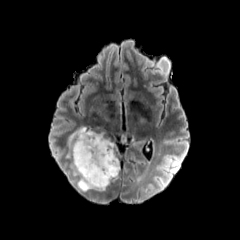
FLAIR magnetic resonance.
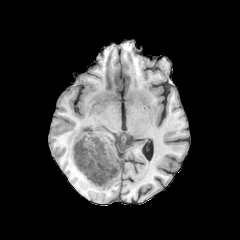
T1-weighted MR image.
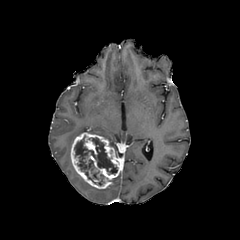
Post-contrast T1-weighted MR of the same slice.
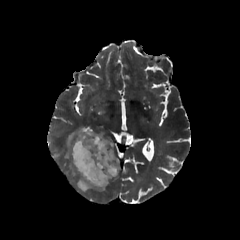
T2-weighted magnetic resonance of the same slice.
Brain. 240x240.
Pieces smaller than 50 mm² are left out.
Findings:
- peritumoral edema: 66, 126, 103, 159; 77, 176, 105, 191
- necrotic tumor core: 85, 171, 104, 185; 74, 135, 117, 174
- enhancing tumor: 70, 132, 120, 188